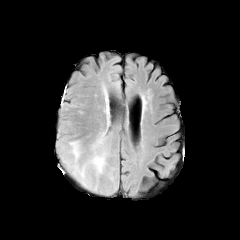
FLAIR MR image.
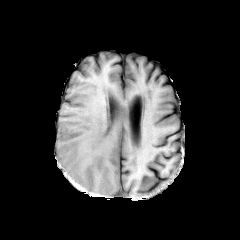
T1-weighted magnetic resonance.
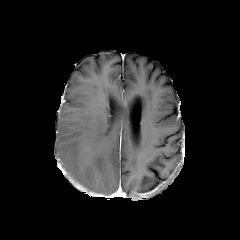
Post-contrast T1-weighted MRI of the same slice.
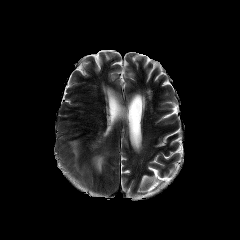
T2-weighted MR.
Brain | Axial slice
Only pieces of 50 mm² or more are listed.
peritumoral edema: bounding box x1=70, y1=141, x2=78, y2=161; x1=92, y1=155, x2=105, y2=172